Axial view | Brain | Image covers 240 mm x 240 mm
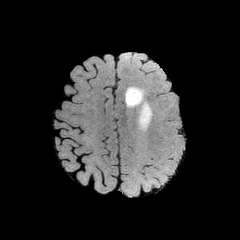
FLAIR magnetic resonance.
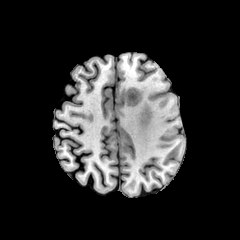
T1-weighted MR image.
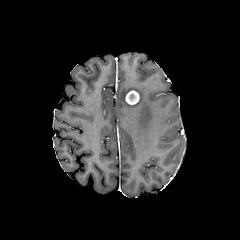
Post-contrast T1-weighted MRI.
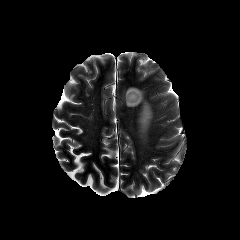
T2-weighted MR image.
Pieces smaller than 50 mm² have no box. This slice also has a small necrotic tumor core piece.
The peritumoral edema is bounded by 125, 87, 152, 134. The enhancing tumor is bounded by 125, 90, 139, 104.